240x240. Slice index 80. Axial slice.
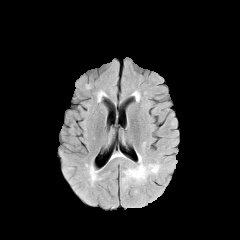
FLAIR MR image.
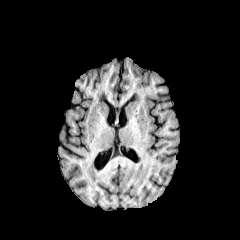
T1-weighted MR image of the same slice.
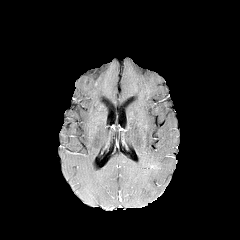
Post-contrast T1-weighted magnetic resonance.
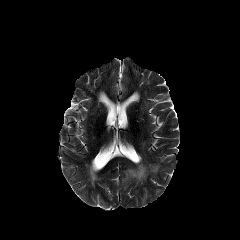
T2-weighted magnetic resonance.
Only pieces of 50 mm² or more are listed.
Annotated regions:
* peritumoral edema: left=122, top=154, right=160, bottom=183